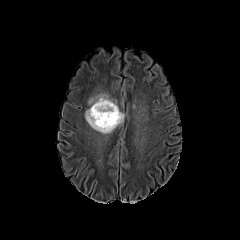
FLAIR MRI.
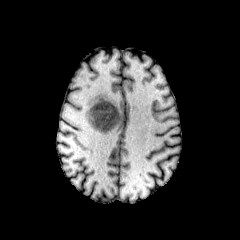
T1-weighted MR.
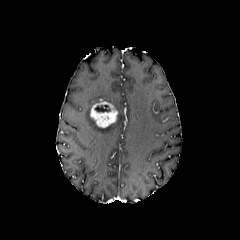
Same slice, post-contrast T1-weighted MR.
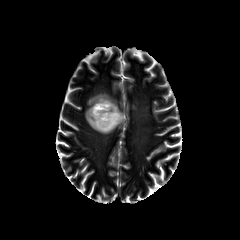
Same slice, T2-weighted MR image.
240x240 px, Axial plane
<segmentation>
  <enhancing_tumor>left=90, top=99, right=118, bottom=127</enhancing_tumor>
  <peritumoral_edema>left=85, top=93, right=124, bottom=133</peritumoral_edema>
  <necrotic_tumor_core>left=95, top=105, right=110, bottom=112</necrotic_tumor_core>
</segmentation>